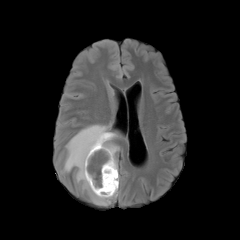
FLAIR magnetic resonance.
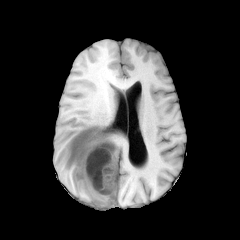
Same slice, T1-weighted MR image.
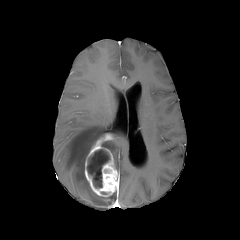
Post-contrast T1-weighted MRI of the same slice.
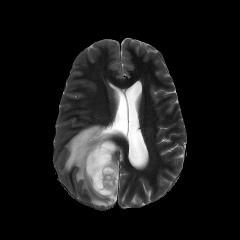
T2-weighted MR.
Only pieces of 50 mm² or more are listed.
* enhancing tumor: bbox=[85, 133, 119, 196]
* peritumoral edema: bbox=[110, 139, 119, 171]; bbox=[63, 124, 117, 205]
* necrotic tumor core: bbox=[102, 141, 111, 148]; bbox=[87, 149, 109, 187]